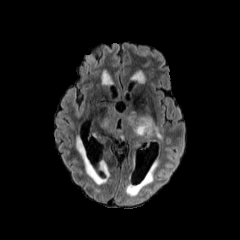
FLAIR MRI.
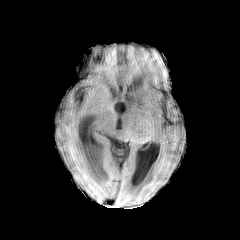
T1-weighted MR.
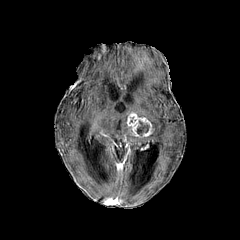
Post-contrast T1-weighted MR.
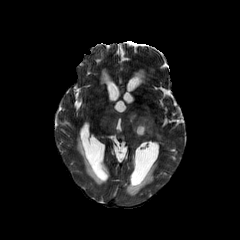
Same slice, T2-weighted MRI.
Image size 240x240
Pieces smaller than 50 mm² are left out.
necrotic tumor core = l=137, t=121, r=149, b=135
peritumoral edema = l=99, t=105, r=161, b=140
enhancing tumor = l=126, t=113, r=152, b=138